Head
FLAIR MR image.
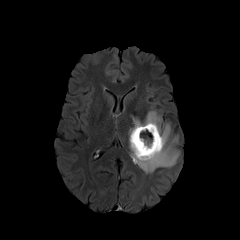
T1-weighted MR image.
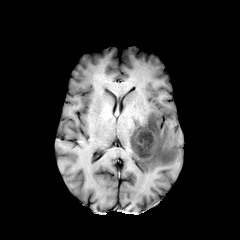
Post-contrast T1-weighted MR.
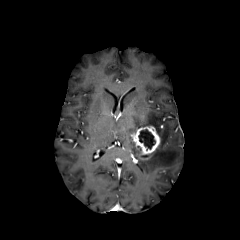
T2-weighted MR image.
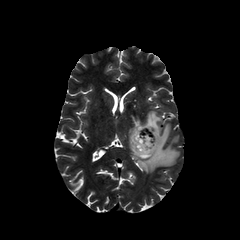
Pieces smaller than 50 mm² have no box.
<segmentation>
  <enhancing_tumor>[131, 126, 160, 159]</enhancing_tumor>
  <necrotic_tumor_core>[138, 129, 155, 149]</necrotic_tumor_core>
  <peritumoral_edema>[129, 110, 179, 173]</peritumoral_edema>
</segmentation>